FLAIR MR.
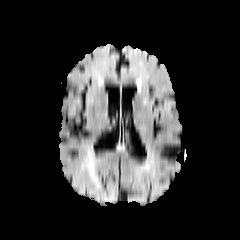
T1-weighted MR image.
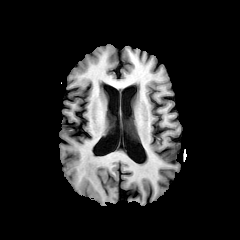
Post-contrast T1-weighted MR image.
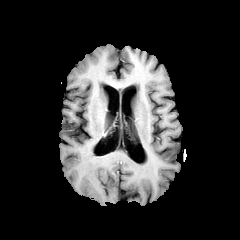
T2-weighted MR image.
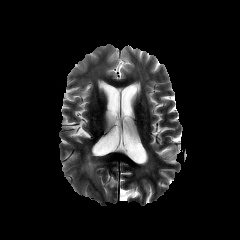
240x240. Axial view.
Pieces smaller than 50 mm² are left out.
The largest peritumoral edema region is bounded by (x1=82, y1=152, x2=98, y2=186).